FLAIR MRI.
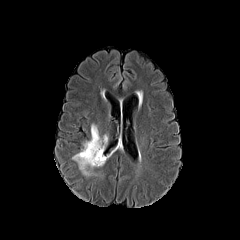
T1-weighted MR image.
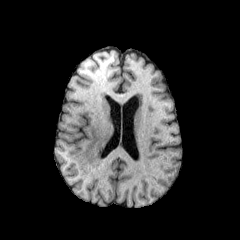
Post-contrast T1-weighted magnetic resonance.
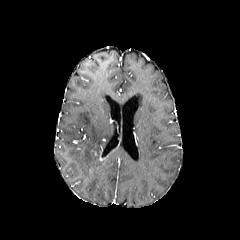
T2-weighted MRI.
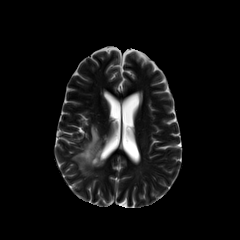
Head; Image size 240x240; Axial plane
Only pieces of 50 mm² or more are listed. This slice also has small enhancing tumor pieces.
The peritumoral edema appears at 72, 124, 116, 175.